FLAIR MR image.
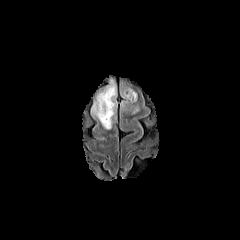
T1-weighted MR image.
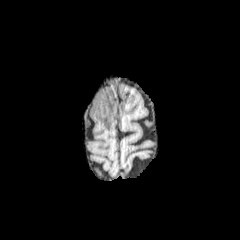
Post-contrast T1-weighted magnetic resonance.
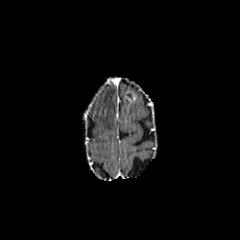
T2-weighted MRI.
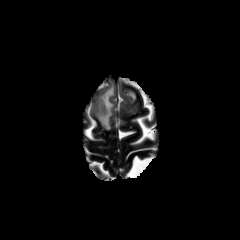
Axial view. Head.
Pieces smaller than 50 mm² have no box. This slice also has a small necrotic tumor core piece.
The largest peritumoral edema region appears at region(91, 79, 116, 129). The enhancing tumor is bounded by region(125, 91, 136, 102).